FLAIR MRI.
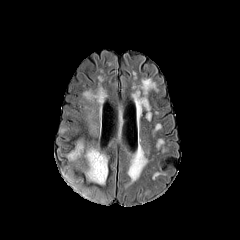
T1-weighted MRI.
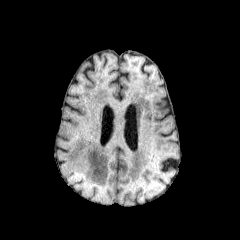
Post-contrast T1-weighted MR.
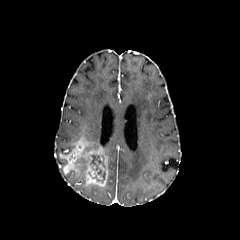
T2-weighted MR image.
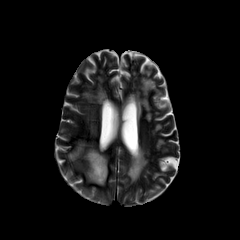
240x240 px. Brain.
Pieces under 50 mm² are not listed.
Segmented structures:
• peritumoral edema: [74, 158, 88, 174]
• necrotic tumor core: [90, 154, 105, 170]
• enhancing tumor: [59, 137, 108, 186]